FLAIR MR image.
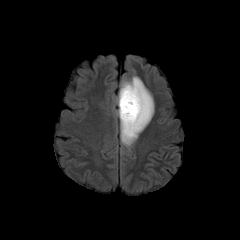
T1-weighted MR.
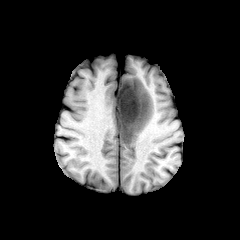
Post-contrast T1-weighted magnetic resonance.
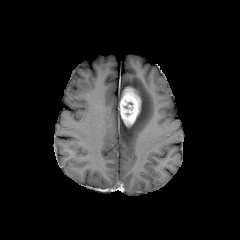
T2-weighted MRI.
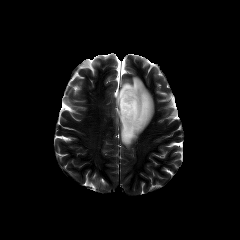
Brain. Axial slice.
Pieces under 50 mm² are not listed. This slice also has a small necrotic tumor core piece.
enhancing tumor: (119, 86, 141, 127) | peritumoral edema: (116, 76, 154, 148)